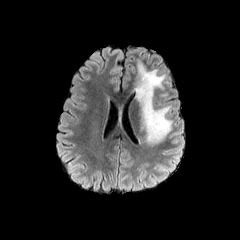
FLAIR MR.
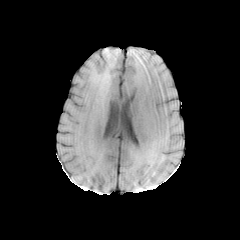
T1-weighted MR of the same slice.
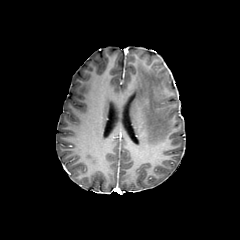
Post-contrast T1-weighted magnetic resonance.
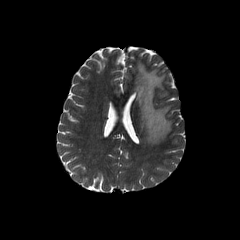
T2-weighted MR image.
240x240.
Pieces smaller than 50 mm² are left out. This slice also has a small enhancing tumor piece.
<segmentation>
  <peritumoral_edema>(134, 58, 172, 146)</peritumoral_edema>
</segmentation>